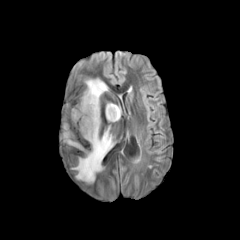
FLAIR MR.
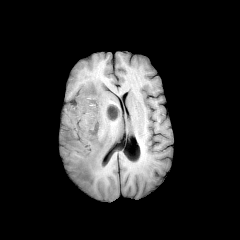
T1-weighted magnetic resonance.
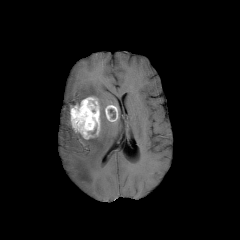
Post-contrast T1-weighted magnetic resonance of the same slice.
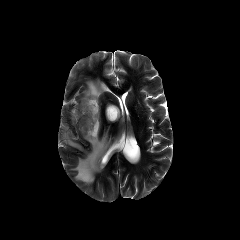
Same slice, T2-weighted MR image.
Axial plane
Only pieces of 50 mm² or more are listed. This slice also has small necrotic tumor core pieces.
peritumoral_edema:
  - <bbox>72, 126, 113, 183</bbox>
  - <bbox>82, 78, 107, 104</bbox>
  - <bbox>63, 124, 82, 149</bbox>
enhancing_tumor:
  - <bbox>70, 96, 100, 139</bbox>
  - <bbox>105, 105, 118, 121</bbox>